Head | Slice 63/155 | Axial view
FLAIR MR image.
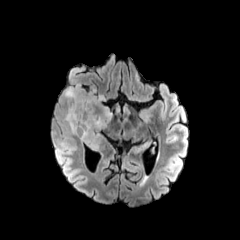
T1-weighted MRI.
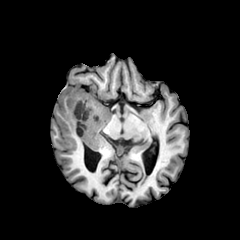
Post-contrast T1-weighted MR.
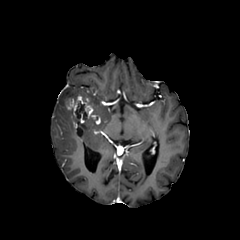
T2-weighted MRI.
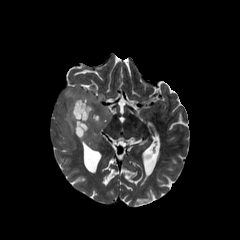
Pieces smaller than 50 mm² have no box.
The 2 largest peritumoral edema regions are located at left=63, top=87, right=112, bottom=148; left=64, top=110, right=75, bottom=133. The largest necrotic tumor core region is at left=75, top=104, right=83, bottom=118. The enhancing tumor appears at left=67, top=95, right=100, bottom=137.